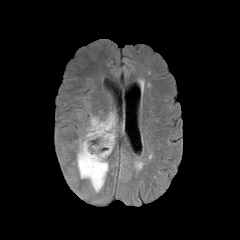
FLAIR MR.
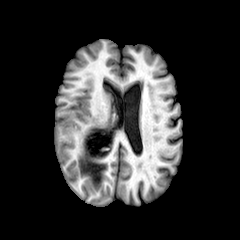
T1-weighted MRI.
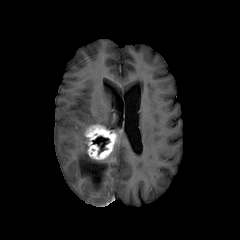
Post-contrast T1-weighted magnetic resonance.
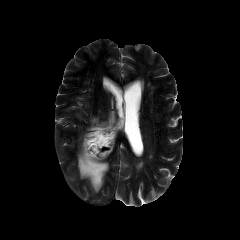
T2-weighted magnetic resonance of the same slice.
The enhancing tumor is bounded by bbox=[84, 124, 117, 160]. 2 peritumoral edema regions appear at bbox=[90, 112, 116, 131]; bbox=[77, 134, 108, 192]. The necrotic tumor core appears at bbox=[92, 136, 109, 153].